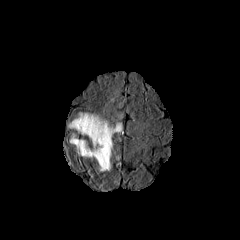
FLAIR MR.
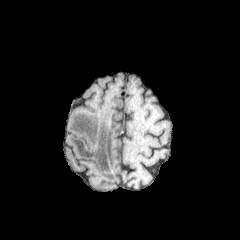
T1-weighted MRI of the same slice.
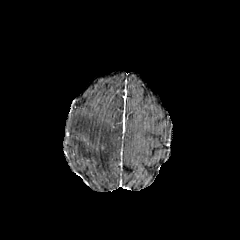
Post-contrast T1-weighted MR image.
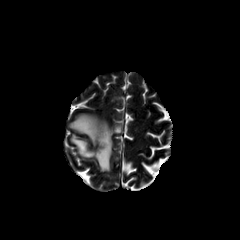
T2-weighted MR image.
Axial plane. Image size 240x240.
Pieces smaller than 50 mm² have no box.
peritumoral edema: box=[68, 112, 122, 172]